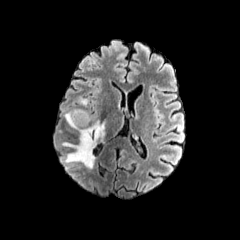
FLAIR MR image.
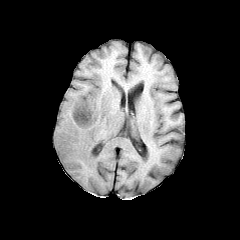
T1-weighted MR.
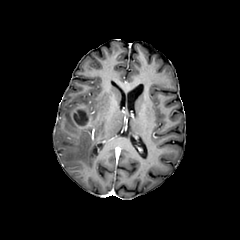
Post-contrast T1-weighted MR image of the same slice.
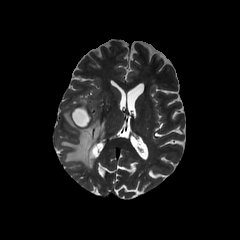
T2-weighted MRI of the same slice.
Head, Axial plane
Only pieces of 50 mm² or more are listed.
necrotic tumor core — box=[73, 110, 88, 125]
peritumoral edema — box=[79, 97, 87, 105]; box=[61, 110, 105, 168]
enhancing tumor — box=[72, 104, 92, 128]